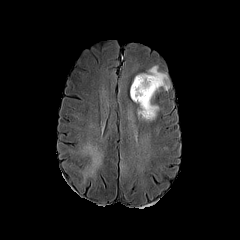
FLAIR MR image.
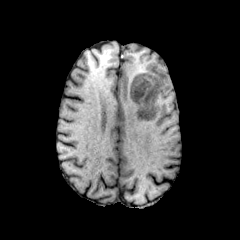
T1-weighted MRI.
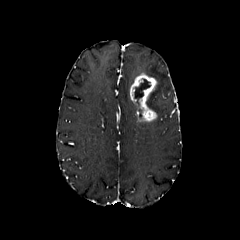
Same slice, post-contrast T1-weighted magnetic resonance.
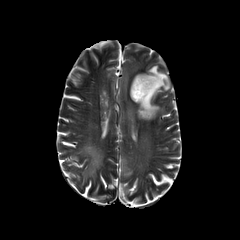
T2-weighted MR image of the same slice.
Brain
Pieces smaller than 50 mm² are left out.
{"enhancing_tumor": ["<bbox>130, 73, 157, 121</bbox>"], "peritumoral_edema": ["<bbox>145, 65, 170, 112</bbox>"], "necrotic_tumor_core": ["<bbox>134, 79, 150, 103</bbox>"]}